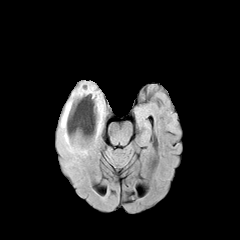
FLAIR magnetic resonance.
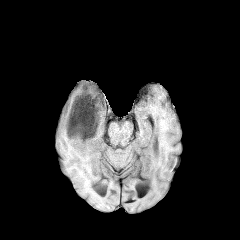
T1-weighted MR.
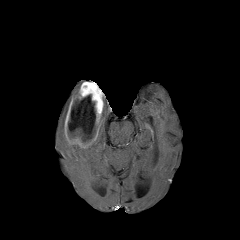
Post-contrast T1-weighted MR image.
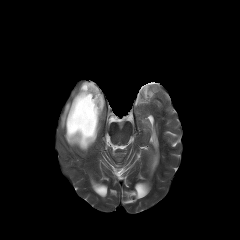
T2-weighted MR.
Axial view
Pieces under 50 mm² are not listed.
{
  "enhancing_tumor": [
    "box(64, 81, 103, 148)"
  ],
  "peritumoral_edema": [
    "box(59, 86, 105, 155)"
  ],
  "necrotic_tumor_core": [
    "box(68, 95, 95, 142)"
  ]
}